Image width 240 mm | Image size 240x240 | Head
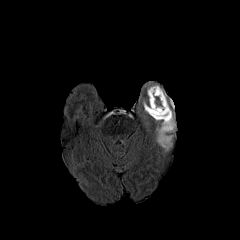
FLAIR MR image.
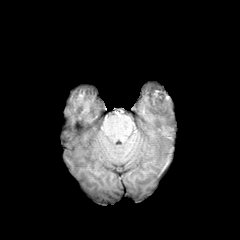
T1-weighted MR image.
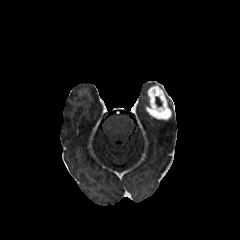
Same slice, post-contrast T1-weighted MRI.
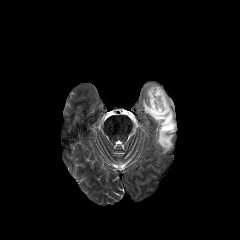
Same slice, T2-weighted magnetic resonance.
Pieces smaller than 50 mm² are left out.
The largest peritumoral edema region is bounded by bbox(155, 112, 175, 151). The necrotic tumor core is located at bbox(155, 97, 161, 106). The enhancing tumor is bounded by bbox(145, 85, 171, 120).